FLAIR MR image.
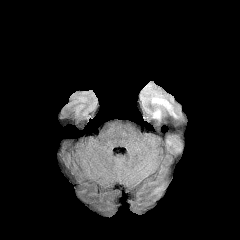
T1-weighted MR.
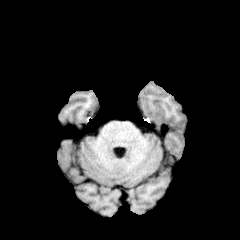
Post-contrast T1-weighted MR.
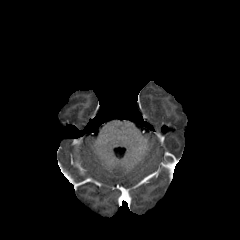
T2-weighted MR.
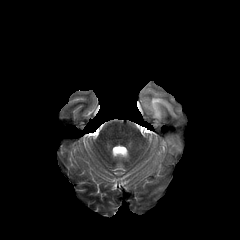
Axial slice.
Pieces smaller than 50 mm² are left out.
<segmentation>
  <peritumoral_edema>[151,93,176,119]</peritumoral_edema>
</segmentation>